FLAIR MRI.
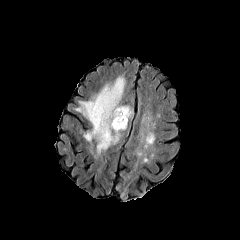
T1-weighted magnetic resonance.
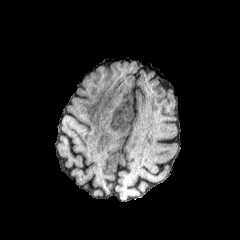
Post-contrast T1-weighted MR.
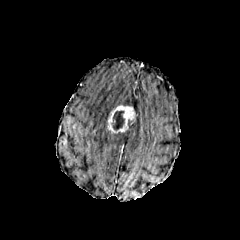
T2-weighted MRI.
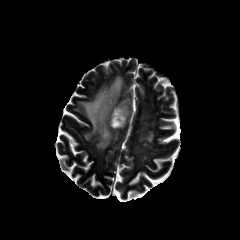
Head
The enhancing tumor appears at 107 105 134 132. The peritumoral edema is at 74 76 125 155. The necrotic tumor core is located at 112 111 124 130.